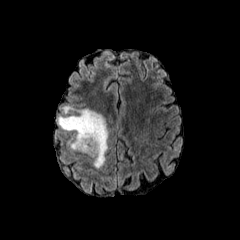
FLAIR MRI.
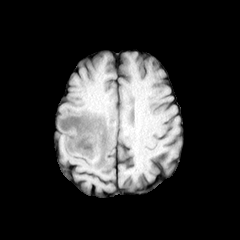
T1-weighted MRI.
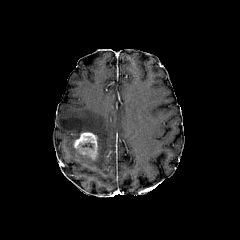
Post-contrast T1-weighted MRI.
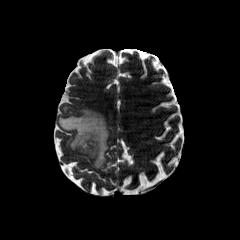
T2-weighted magnetic resonance.
Head.
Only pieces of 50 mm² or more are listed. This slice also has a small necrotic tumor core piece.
peritumoral edema: {"x1": 63, "y1": 106, "x2": 74, "y2": 113}, {"x1": 58, "y1": 108, "x2": 108, "y2": 168} | enhancing tumor: {"x1": 73, "y1": 132, "x2": 98, "y2": 159}